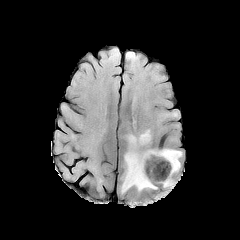
FLAIR MR image.
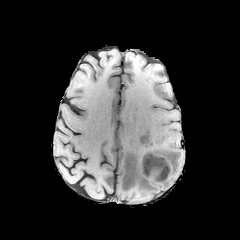
T1-weighted MR of the same slice.
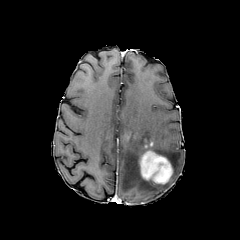
Same slice, post-contrast T1-weighted MRI.
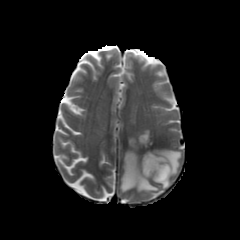
T2-weighted MR.
Head
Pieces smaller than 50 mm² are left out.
peritumoral edema — 121, 130, 157, 192; 163, 176, 172, 187; 148, 149, 181, 174
enhancing tumor — 140, 151, 172, 184